240x240 px, Axial slice
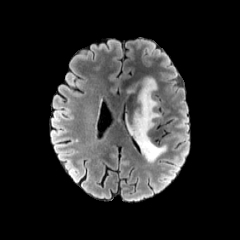
FLAIR MRI.
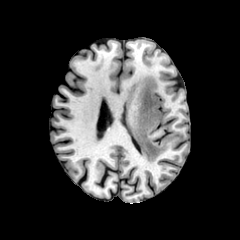
T1-weighted MR image.
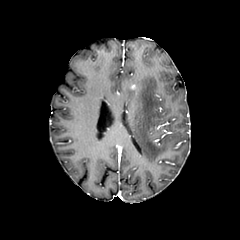
Same slice, post-contrast T1-weighted MR image.
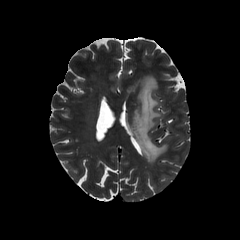
T2-weighted MR of the same slice.
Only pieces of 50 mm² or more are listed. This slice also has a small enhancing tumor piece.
peritumoral_edema:
  - 129:76:167:162